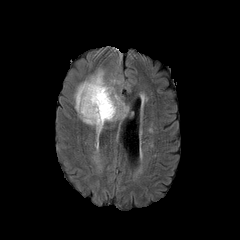
FLAIR MR image.
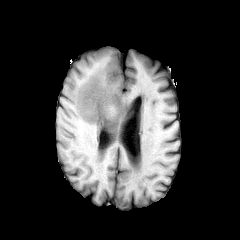
T1-weighted MR.
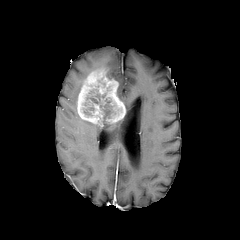
Post-contrast T1-weighted MRI of the same slice.
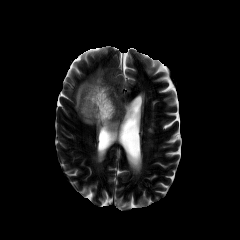
T2-weighted MRI.
240x240 | Axial view | Brain
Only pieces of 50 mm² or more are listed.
peritumoral_edema:
  - x1=74 y1=83 x2=82 y2=110
  - x1=82 y1=120 x2=101 y2=129
necrotic_tumor_core:
  - x1=87 y1=94 x2=105 y2=103
  - x1=100 y1=99 x2=113 y2=120
enhancing_tumor:
  - x1=77 y1=69 x2=126 y2=128